Axial view | 240x240 px | Head
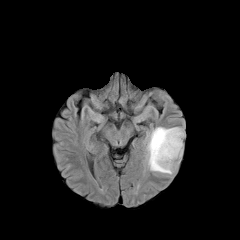
FLAIR MR image.
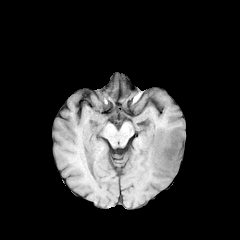
T1-weighted MR image.
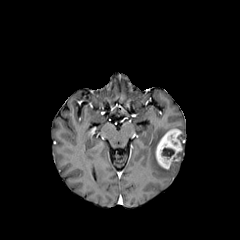
Post-contrast T1-weighted magnetic resonance of the same slice.
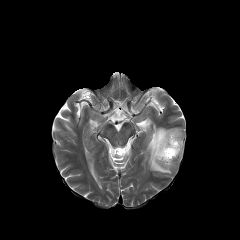
T2-weighted MR of the same slice.
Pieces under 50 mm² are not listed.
peritumoral edema: (146, 127, 173, 174) | necrotic tumor core: (162, 148, 174, 157) | enhancing tumor: (155, 128, 182, 169)